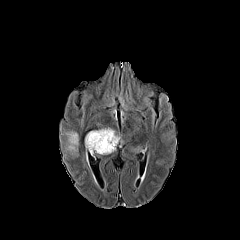
FLAIR magnetic resonance.
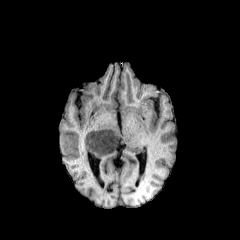
T1-weighted MR image of the same slice.
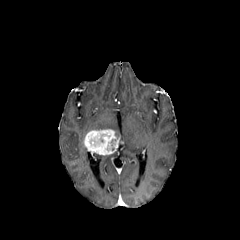
Post-contrast T1-weighted MRI.
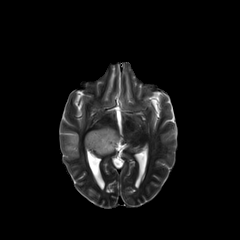
T2-weighted magnetic resonance.
Axial view; Brain
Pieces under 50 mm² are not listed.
enhancing_tumor:
  - (left=84, top=129, right=120, bottom=155)
peritumoral_edema:
  - (left=62, top=131, right=78, bottom=155)